FLAIR MR.
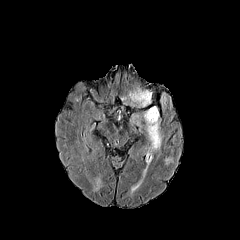
T1-weighted MR image.
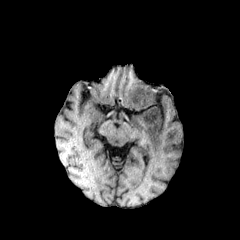
Post-contrast T1-weighted MR image.
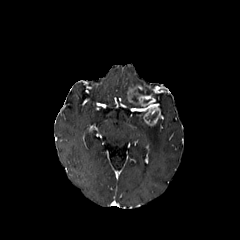
T2-weighted MR.
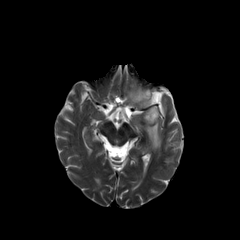
Head
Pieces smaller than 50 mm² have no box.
The largest necrotic tumor core region is bounded by region(138, 89, 153, 96). 2 enhancing tumor regions appear at region(143, 105, 160, 125); region(127, 85, 155, 107). The largest peritumoral edema region lies within region(145, 120, 161, 151).